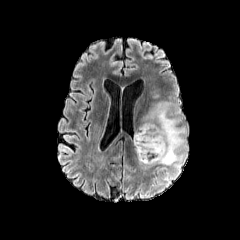
FLAIR MRI.
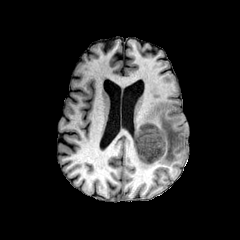
Same slice, T1-weighted magnetic resonance.
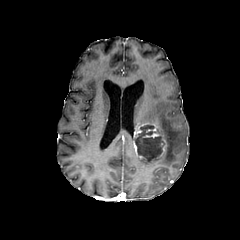
Post-contrast T1-weighted MR image.
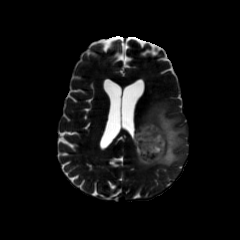
T2-weighted magnetic resonance.
Head.
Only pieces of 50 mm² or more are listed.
necrotic tumor core — (x1=135, y1=125, x2=163, y2=160)
enhancing tumor — (x1=133, y1=122, x2=166, y2=162)
peritumoral edema — (x1=137, y1=101, x2=187, y2=169)